FLAIR MR.
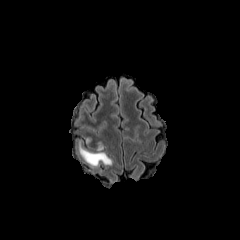
T1-weighted magnetic resonance.
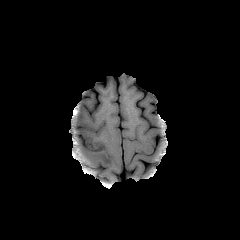
Post-contrast T1-weighted MR image.
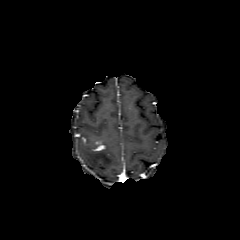
T2-weighted MR image.
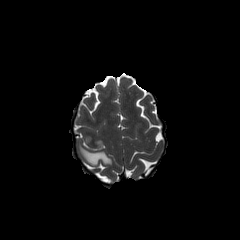
Brain | Axial slice | 240x240
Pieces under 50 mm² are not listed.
* peritumoral edema: box=[78, 140, 112, 166]
* enhancing tumor: box=[94, 142, 105, 150]